240x240.
FLAIR MRI.
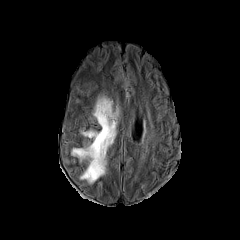
T1-weighted MRI.
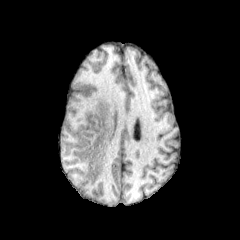
Post-contrast T1-weighted MR image.
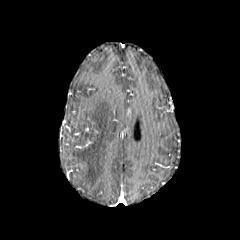
T2-weighted magnetic resonance.
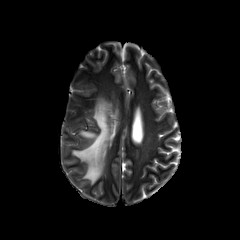
peritumoral edema: x1=72, y1=97, x2=117, y2=183